FLAIR MR image.
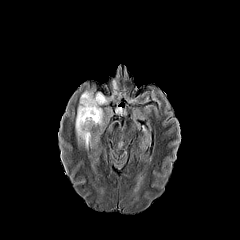
T1-weighted magnetic resonance.
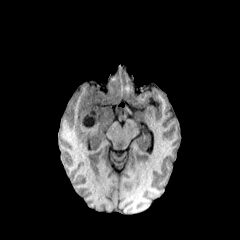
Post-contrast T1-weighted MRI.
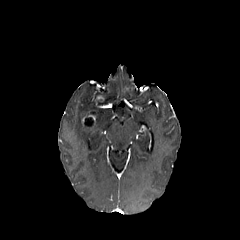
T2-weighted MR image.
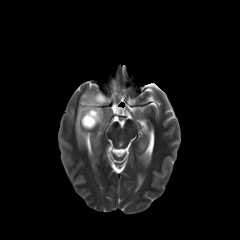
Image size 240x240 | Axial plane
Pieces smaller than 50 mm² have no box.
The largest necrotic tumor core region is bounded by x1=84, y1=117, x2=93, y2=127. The 2 largest peritumoral edema regions are located at x1=110, y1=79, x2=117, y2=100; x1=75, y1=91, x2=103, y2=149. The largest enhancing tumor region is located at x1=82, y1=114, x2=95, y2=125.